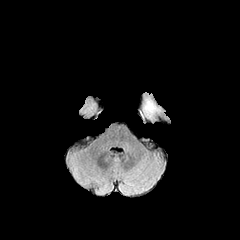
FLAIR MR image.
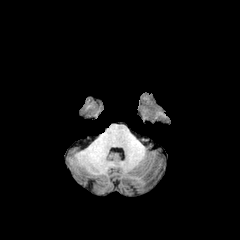
T1-weighted MR.
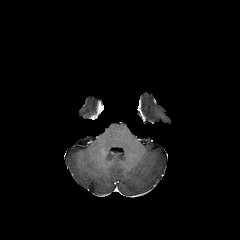
Same slice, post-contrast T1-weighted MR image.
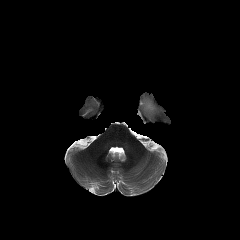
T2-weighted MR of the same slice.
Axial plane.
{"peritumoral_edema": ["x1=143 y1=99 x2=156 y2=117"]}